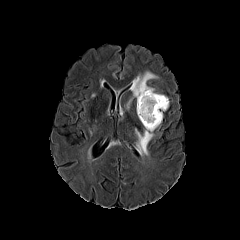
FLAIR MR.
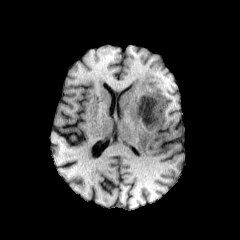
T1-weighted MR.
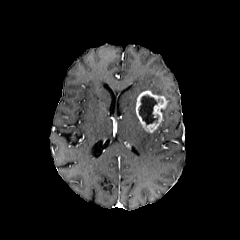
Post-contrast T1-weighted MRI of the same slice.
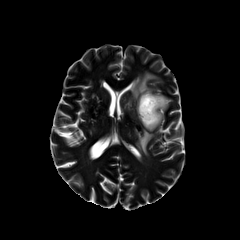
T2-weighted MR of the same slice.
240x240 px; Head
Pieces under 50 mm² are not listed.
Annotated regions:
- peritumoral edema: (126,71,161,108), (135,129,153,155)
- enhancing tumor: (136,90,168,132)
- necrotic tumor core: (139,95,158,124)